FLAIR MR.
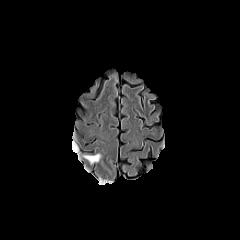
T1-weighted MR image.
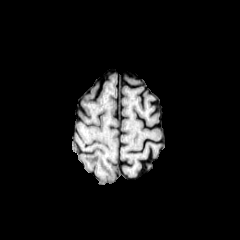
Post-contrast T1-weighted MR image.
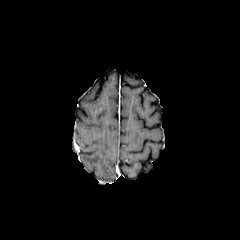
T2-weighted MR.
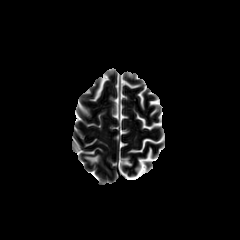
Image size 240x240; Head
<segmentation>
  <peritumoral_edema>(x1=84, y1=154, x2=100, y2=163)</peritumoral_edema>
</segmentation>